Brain, Slice 35 of 155, Axial plane
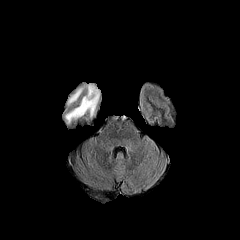
FLAIR MR image.
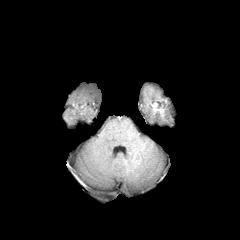
T1-weighted MR image.
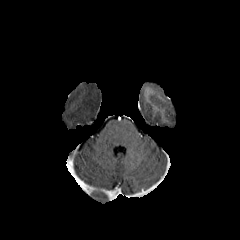
Post-contrast T1-weighted magnetic resonance.
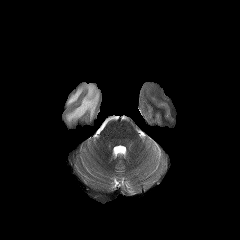
T2-weighted magnetic resonance of the same slice.
The peritumoral edema lies within (65,83,99,123).